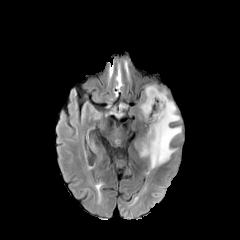
FLAIR magnetic resonance.
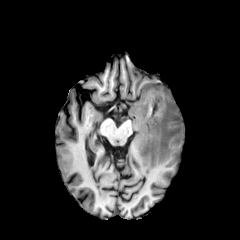
T1-weighted MRI.
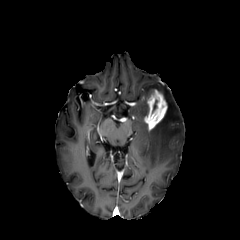
Post-contrast T1-weighted magnetic resonance of the same slice.
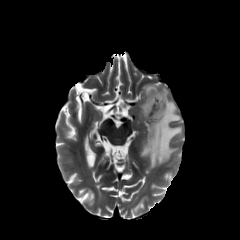
Same slice, T2-weighted MRI.
Axial slice
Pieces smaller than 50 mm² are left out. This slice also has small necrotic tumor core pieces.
enhancing tumor: [x1=144, y1=89, x2=167, y2=130]
peritumoral edema: [x1=140, y1=85, x2=157, y2=116], [x1=141, y1=90, x2=181, y2=168]